Slice index 116, Image size 240x240
FLAIR MR.
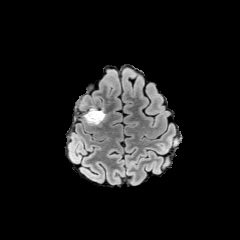
T1-weighted MR.
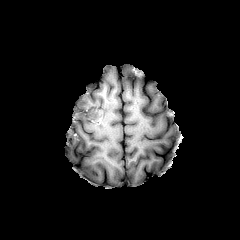
Post-contrast T1-weighted MRI.
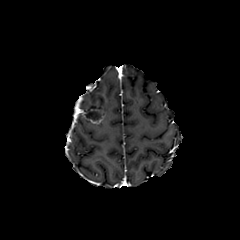
T2-weighted MRI.
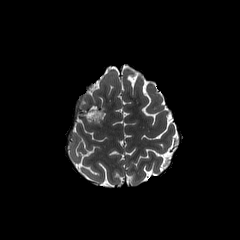
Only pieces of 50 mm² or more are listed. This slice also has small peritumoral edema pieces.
The necrotic tumor core appears at box=[85, 110, 101, 120]. The enhancing tumor is located at box=[83, 108, 105, 123].